Image width 240 mm, 1.00 mm slice spacing, Axial slice, Image size 240x240
FLAIR MR image.
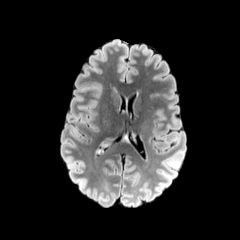
T1-weighted MRI.
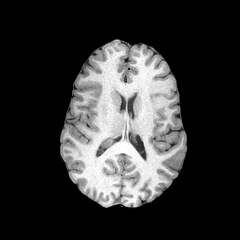
Post-contrast T1-weighted MR.
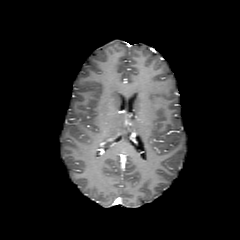
T2-weighted MR image.
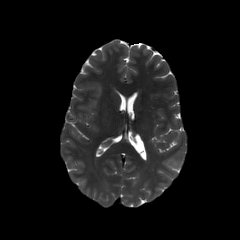
The peritumoral edema is at x1=99, y1=138, x2=113, y2=148.